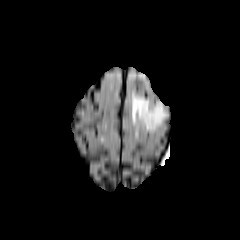
FLAIR MR image.
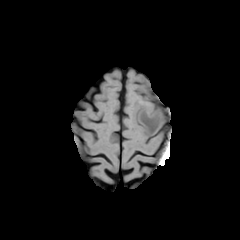
T1-weighted MR.
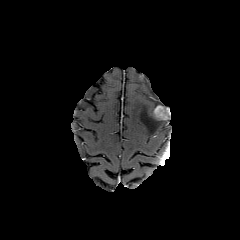
Post-contrast T1-weighted magnetic resonance of the same slice.
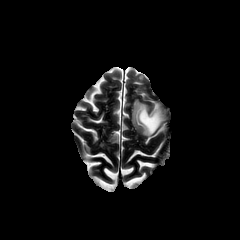
T2-weighted magnetic resonance.
Image size 240x240. Axial slice.
• enhancing tumor: x1=153, y1=105, x2=170, y2=120
• peritumoral edema: x1=132, y1=95, x2=164, y2=133